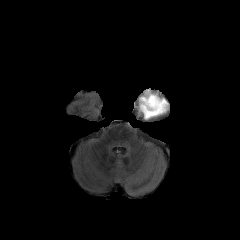
FLAIR MRI.
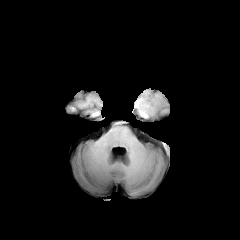
Same slice, T1-weighted MR.
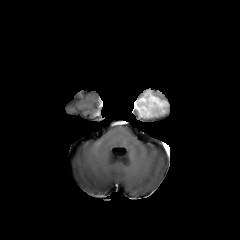
Same slice, post-contrast T1-weighted MRI.
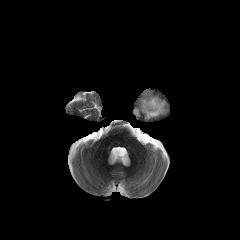
Same slice, T2-weighted MRI.
Axial slice. Head.
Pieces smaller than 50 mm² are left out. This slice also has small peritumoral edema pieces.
Segmented structures:
• enhancing tumor: 136,89,168,117